Slice index 49
FLAIR magnetic resonance.
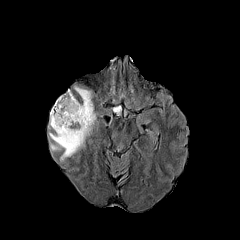
T1-weighted MRI.
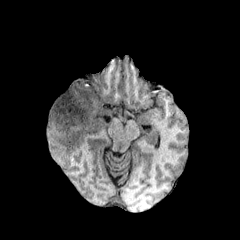
Post-contrast T1-weighted MRI.
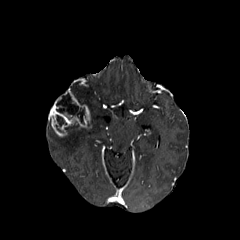
T2-weighted MRI.
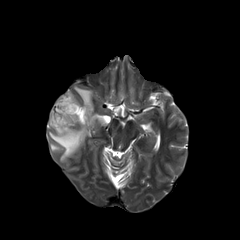
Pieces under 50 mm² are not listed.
Segmented structures:
* necrotic tumor core: box(57, 115, 66, 126); box(56, 93, 84, 123)
* enhancing tumor: box(49, 89, 91, 137)
* peritumoral edema: box(48, 85, 96, 161)